FLAIR MR image.
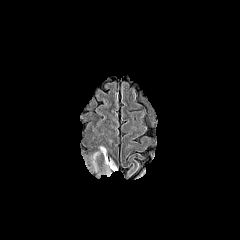
T1-weighted MRI.
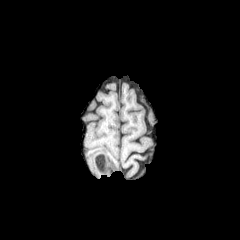
Post-contrast T1-weighted MR.
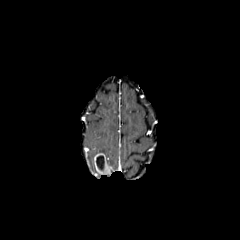
T2-weighted MRI.
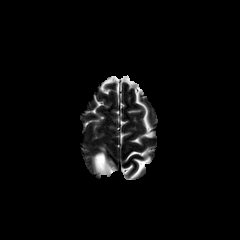
Brain | Image size 240x240 | Axial slice
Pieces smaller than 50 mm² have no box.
enhancing tumor: bounding box x1=93, y1=153, x2=115, y2=175
necrotic tumor core: bounding box x1=96, y1=156, x2=104, y2=170
peritumoral edema: bounding box x1=100, y1=146, x2=116, y2=169